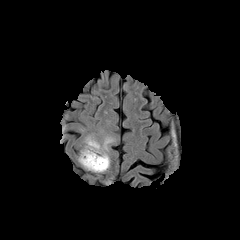
FLAIR MR image.
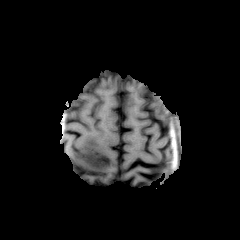
T1-weighted MR image.
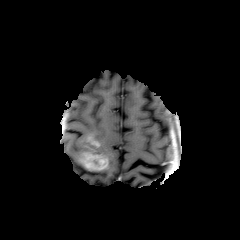
Post-contrast T1-weighted magnetic resonance.
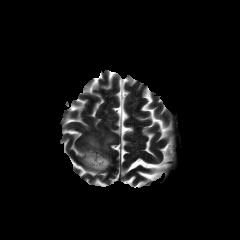
Same slice, T2-weighted MRI.
Axial slice, 240x240
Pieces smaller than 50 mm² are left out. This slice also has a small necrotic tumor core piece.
enhancing tumor: bounding box <box>87,137,99,147</box>, <box>80,152,108,170</box>
peritumoral edema: bounding box <box>78,135,114,172</box>